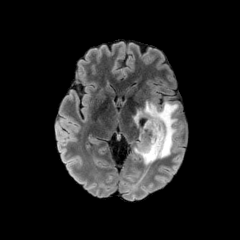
FLAIR MRI.
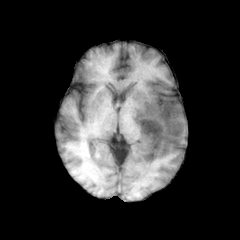
T1-weighted MRI.
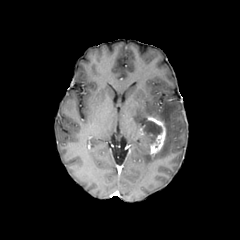
Same slice, post-contrast T1-weighted magnetic resonance.
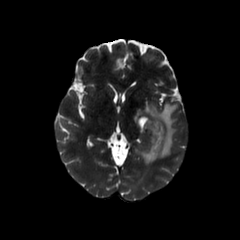
T2-weighted MRI of the same slice.
Head. 240x240. Axial slice.
peritumoral edema: (133,101,178,163)
necrotic tumor core: (144,121,162,142)
enhancing tumor: (140,115,166,155)